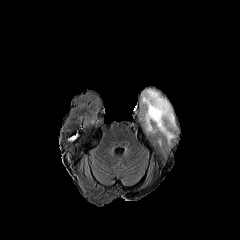
FLAIR MRI.
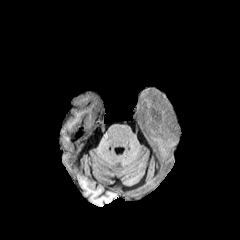
T1-weighted MRI of the same slice.
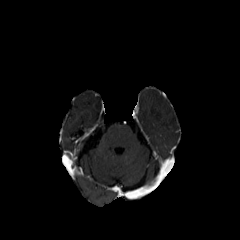
Same slice, post-contrast T1-weighted MRI.
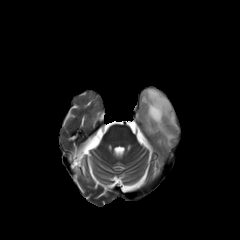
T2-weighted MR image.
240x240 px; Head
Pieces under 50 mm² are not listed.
The largest peritumoral edema region is located at {"x1": 142, "y1": 89, "x2": 176, "y2": 144}.